FLAIR MR image.
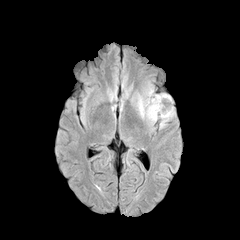
T1-weighted MR.
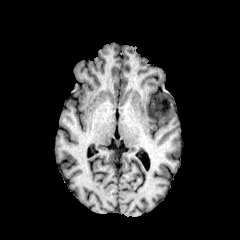
Post-contrast T1-weighted MR image.
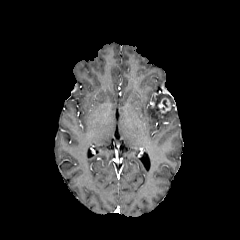
T2-weighted magnetic resonance.
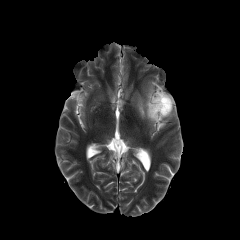
Brain
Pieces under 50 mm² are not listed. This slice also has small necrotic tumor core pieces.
enhancing tumor: [157,97,171,113]
peritumoral edema: [137,94,173,121]